FLAIR magnetic resonance.
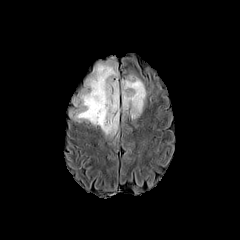
T1-weighted magnetic resonance.
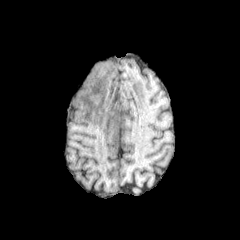
Post-contrast T1-weighted MR.
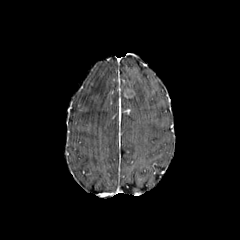
T2-weighted MRI.
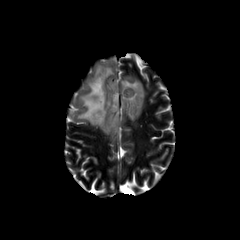
Brain | 240x240 px | Axial slice
enhancing_tumor:
  - (x1=124, y1=90, x2=132, y2=97)
peritumoral_edema:
  - (x1=69, y1=59, x2=118, y2=136)
  - (x1=121, y1=75, x2=146, y2=119)